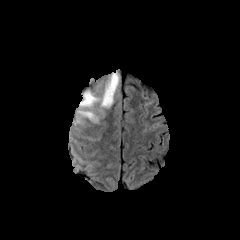
FLAIR MRI.
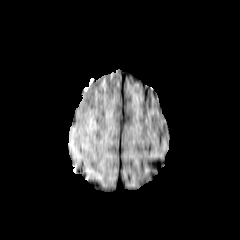
Same slice, T1-weighted MRI.
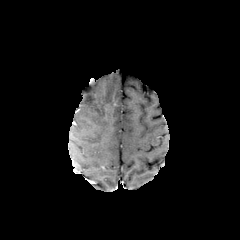
Post-contrast T1-weighted magnetic resonance.
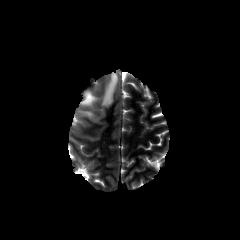
T2-weighted magnetic resonance.
Axial slice, 240x240 px
peritumoral_edema:
  - x1=79, y1=111, x2=94, y2=117
  - x1=101, y1=73, x2=119, y2=107
  - x1=80, y1=89, x2=100, y2=108